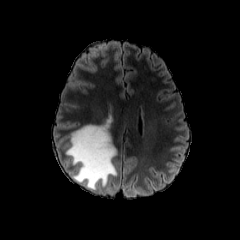
FLAIR magnetic resonance.
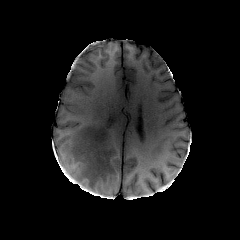
T1-weighted magnetic resonance.
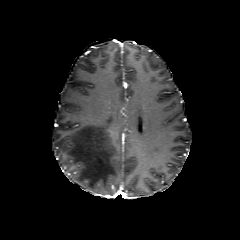
Same slice, post-contrast T1-weighted MR.
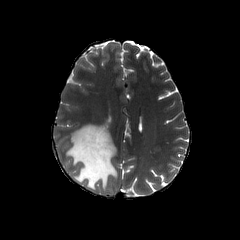
T2-weighted MRI.
240x240 px | Axial plane | Head
The peritumoral edema is bounded by left=66, top=119, right=117, bottom=190.